Slice 82 of 155, Image covers 240 mm x 240 mm
FLAIR magnetic resonance.
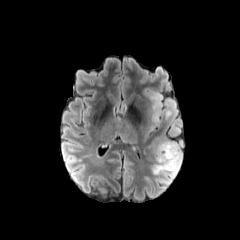
T1-weighted MR image.
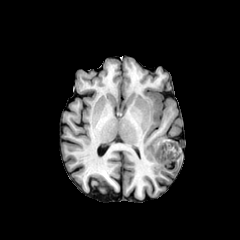
Post-contrast T1-weighted magnetic resonance.
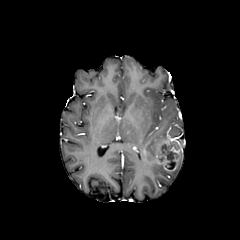
T2-weighted MRI.
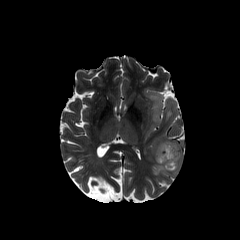
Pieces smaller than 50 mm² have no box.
Findings:
• necrotic tumor core: 161 144 178 169
• peritumoral edema: 142 88 184 177, 153 137 166 159
• enhancing tumor: 156 140 181 171